Axial slice, Slice index 68, Image size 240x240
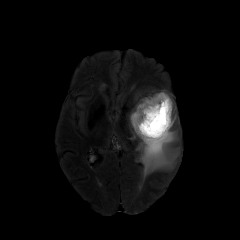
FLAIR MR.
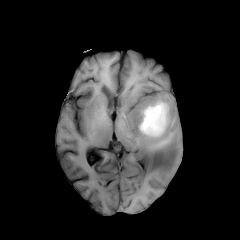
Same slice, T1-weighted magnetic resonance.
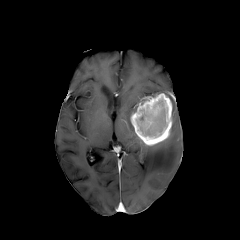
Post-contrast T1-weighted magnetic resonance of the same slice.
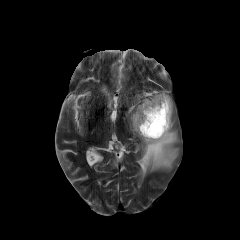
T2-weighted MR.
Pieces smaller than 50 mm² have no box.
<segmentation>
  <necrotic_tumor_core>bbox=[154, 109, 165, 131]</necrotic_tumor_core>
  <peritumoral_edema>bbox=[129, 97, 144, 138]; bbox=[136, 90, 179, 178]</peritumoral_edema>
  <enhancing_tumor>bbox=[131, 93, 172, 145]</enhancing_tumor>
</segmentation>